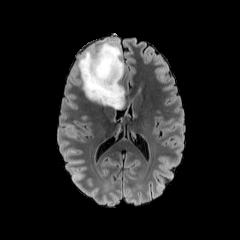
FLAIR magnetic resonance.
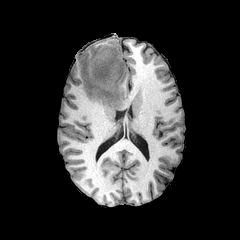
Same slice, T1-weighted magnetic resonance.
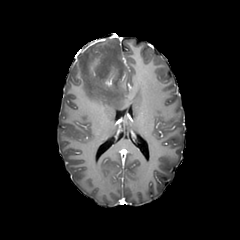
Same slice, post-contrast T1-weighted MR image.
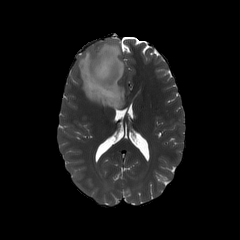
T2-weighted MR of the same slice.
The peritumoral edema is bounded by (79,42,124,109). 2 enhancing tumor regions are bounded by (90,54,102,75), (105,71,113,86).